Head, Image size 240x240, Image covers 240 mm x 240 mm
FLAIR MRI.
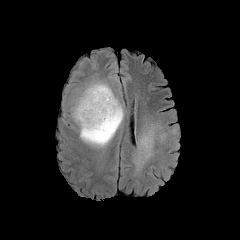
T1-weighted MR.
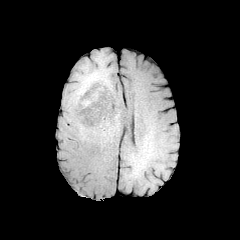
Post-contrast T1-weighted MR image.
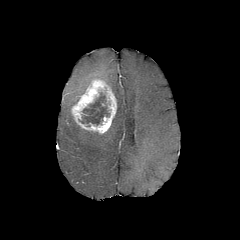
T2-weighted MR image.
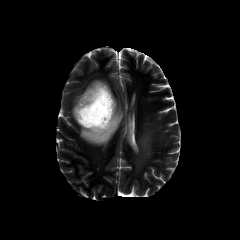
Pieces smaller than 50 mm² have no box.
Segmented structures:
* peritumoral edema: 78,91,123,146; 134,115,179,170
* necrotic tumor core: 79,92,109,125
* enhancing tumor: 72,79,116,133